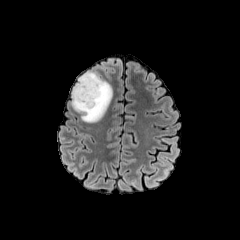
FLAIR MR image.
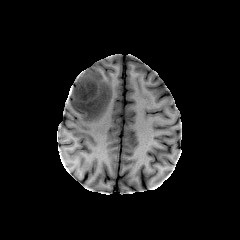
T1-weighted MRI.
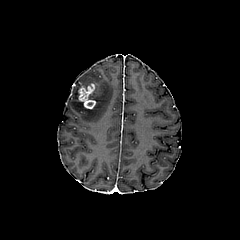
Post-contrast T1-weighted MR.
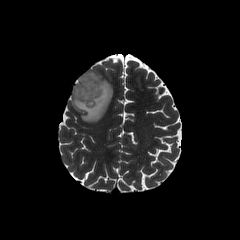
T2-weighted magnetic resonance.
Axial view
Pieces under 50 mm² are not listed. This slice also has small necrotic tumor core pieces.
The peritumoral edema appears at 70,71,112,122. The enhancing tumor lies within 78,83,96,109.